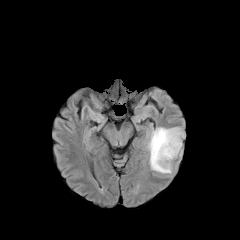
FLAIR MR image.
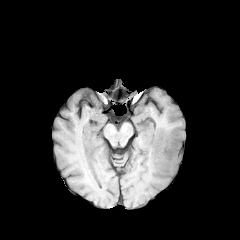
T1-weighted magnetic resonance.
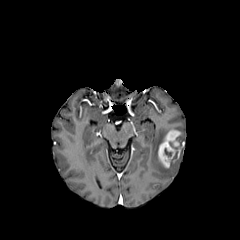
Post-contrast T1-weighted MR.
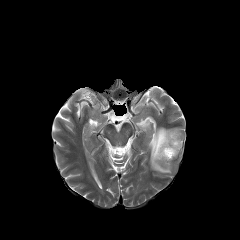
T2-weighted MR image of the same slice.
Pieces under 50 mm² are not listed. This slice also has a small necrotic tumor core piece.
<segmentation>
  <enhancing_tumor>region(157, 129, 181, 167)</enhancing_tumor>
  <peritumoral_edema>region(148, 127, 183, 173)</peritumoral_edema>
</segmentation>